Axial plane | Brain
FLAIR MRI.
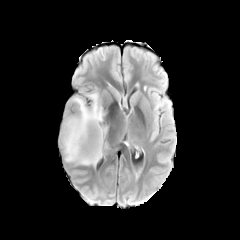
T1-weighted MR image.
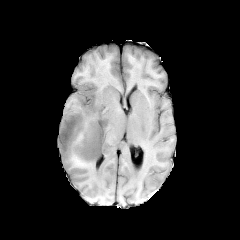
Post-contrast T1-weighted magnetic resonance.
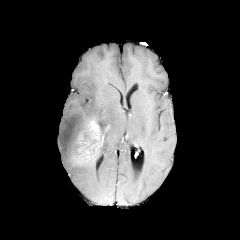
T2-weighted MR image.
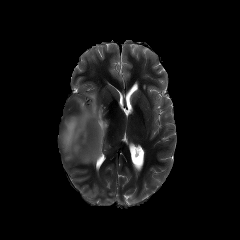
The enhancing tumor lies within 76 119 104 161. The peritumoral edema is located at 60 92 107 165.